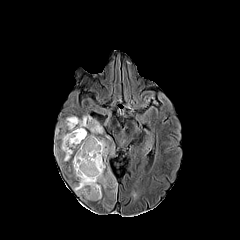
FLAIR MR image.
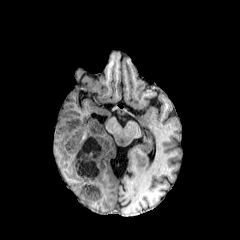
Same slice, T1-weighted MRI.
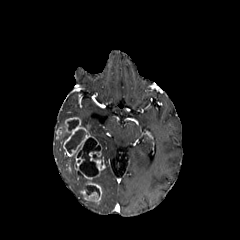
Post-contrast T1-weighted MR image.
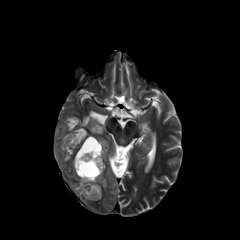
Same slice, T2-weighted MRI.
240x240 px
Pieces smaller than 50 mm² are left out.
The 6 largest peritumoral edema regions are bounded by [x1=92, y1=170, x2=107, y2=188], [x1=96, y1=138, x2=108, y2=160], [x1=108, y1=167, x2=117, y2=193], [x1=72, y1=158, x2=89, y2=195], [x1=81, y1=115, x2=103, y2=135], [x1=60, y1=133, x2=69, y2=150]. The 2 largest enhancing tumor regions appear at [x1=80, y1=146, x2=105, y2=201], [x1=59, y1=116, x2=100, y2=170]. The 4 largest necrotic tumor core regions appear at [x1=85, y1=185, x2=99, y2=196], [x1=67, y1=120, x2=78, y2=130], [x1=77, y1=137, x2=100, y2=176], [x1=65, y1=129, x2=85, y2=153].